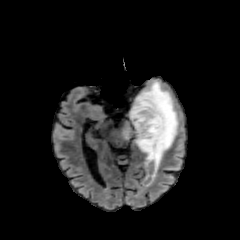
FLAIR MRI.
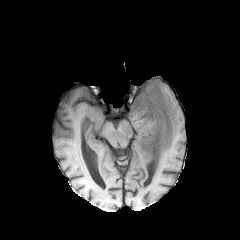
Same slice, T1-weighted MR image.
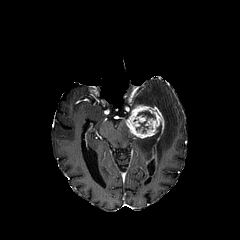
Post-contrast T1-weighted magnetic resonance.
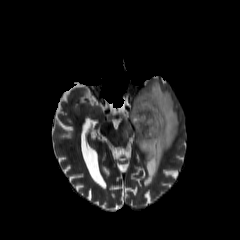
T2-weighted MR image.
Axial slice
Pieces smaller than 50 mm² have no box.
necrotic tumor core = box=[136, 121, 148, 132]; box=[137, 111, 155, 119]
peritumoral edema = box=[121, 80, 178, 189]
enhancing tumor = box=[125, 104, 164, 186]